Image covers 240 mm x 240 mm, Axial plane, Brain
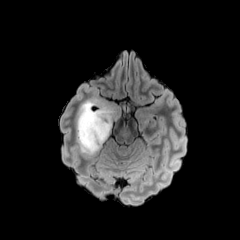
FLAIR MR image.
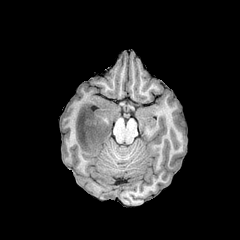
T1-weighted MR image of the same slice.
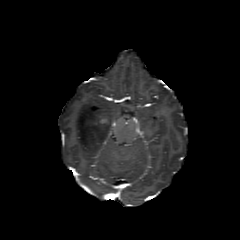
Post-contrast T1-weighted magnetic resonance.
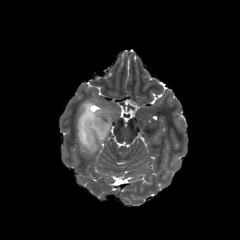
Same slice, T2-weighted MRI.
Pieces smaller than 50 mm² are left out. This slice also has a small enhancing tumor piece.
peritumoral edema: l=76, t=97, r=121, b=154